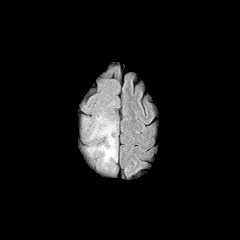
FLAIR magnetic resonance.
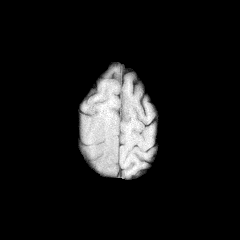
Same slice, T1-weighted MR.
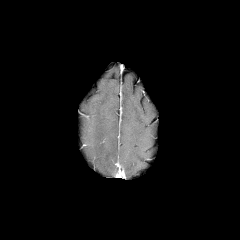
Post-contrast T1-weighted magnetic resonance of the same slice.
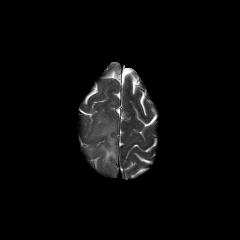
T2-weighted MRI.
Head
The peritumoral edema is bounded by l=87, t=115, r=117, b=168.